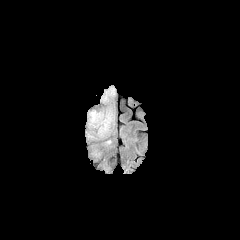
FLAIR MR.
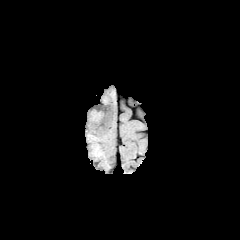
T1-weighted magnetic resonance.
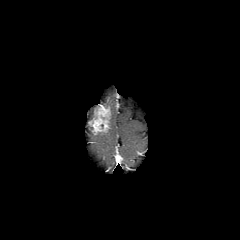
Post-contrast T1-weighted MR.
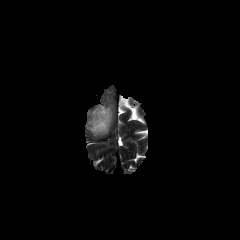
T2-weighted MR.
Axial plane, Image size 240x240
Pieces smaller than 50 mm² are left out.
peritumoral_edema:
  - (x1=86, y1=105, x2=106, y2=136)
  - (x1=98, y1=89, x2=113, y2=132)
enhancing_tumor:
  - (x1=88, y1=105, x2=111, y2=135)